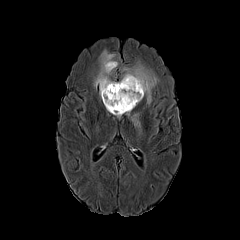
FLAIR MRI.
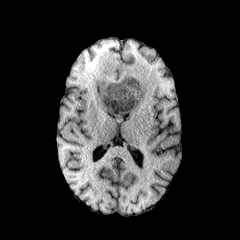
T1-weighted MR image.
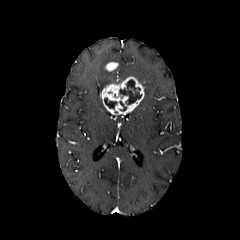
Same slice, post-contrast T1-weighted MR image.
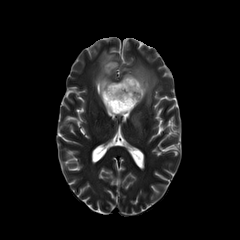
T2-weighted MRI of the same slice.
Axial view.
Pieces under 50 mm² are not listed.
peritumoral edema = l=131, t=114, r=140, b=130; l=94, t=50, r=158, b=104
necrotic tumor core = l=104, t=98, r=116, b=108; l=119, t=80, r=141, b=104
enhancing tumor = l=105, t=62, r=118, b=71; l=100, t=76, r=144, b=115